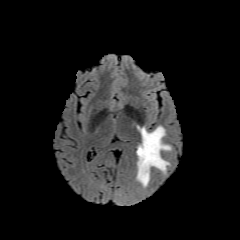
FLAIR MR image.
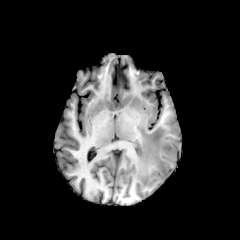
T1-weighted magnetic resonance of the same slice.
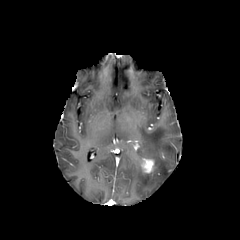
Post-contrast T1-weighted MR image of the same slice.
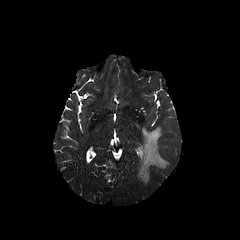
T2-weighted MRI.
The peritumoral edema lies within x1=136, y1=126, x2=171, y2=186. The enhancing tumor is bounded by x1=141, y1=158, x2=153, y2=172.